FLAIR MRI.
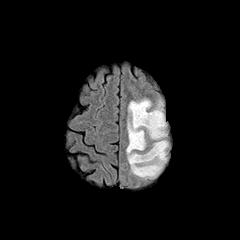
T1-weighted MRI.
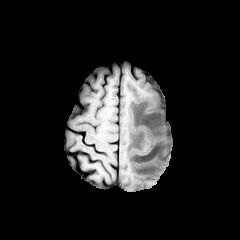
Post-contrast T1-weighted magnetic resonance.
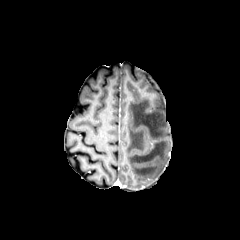
T2-weighted MR image.
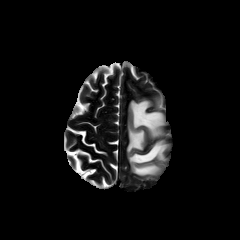
Axial plane; Brain
peritumoral edema: [126,98,168,178]